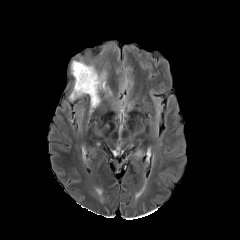
FLAIR MRI.
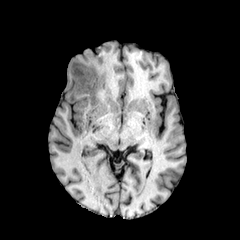
Same slice, T1-weighted magnetic resonance.
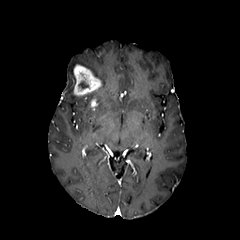
Post-contrast T1-weighted MR.
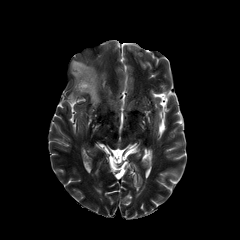
T2-weighted MR image.
Image size 240x240
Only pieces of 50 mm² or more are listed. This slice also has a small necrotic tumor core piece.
Annotated regions:
- peritumoral edema: 71 60 106 104
- enhancing tumor: 73 64 101 96, 91 96 97 109